Slice 95 of 155
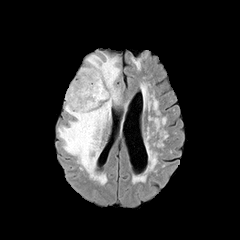
FLAIR magnetic resonance.
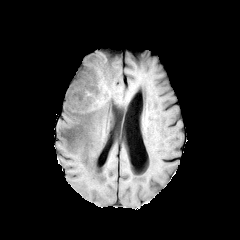
Same slice, T1-weighted MR.
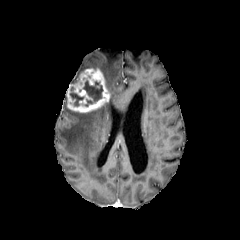
Post-contrast T1-weighted MRI.
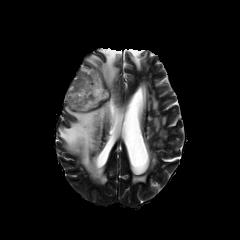
T2-weighted MR image.
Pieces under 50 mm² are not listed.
Segmented structures:
* peritumoral edema: 58,54,119,176
* enhancing tumor: 66,68,110,112
* necrotic tumor core: 83,81,102,106; 70,92,83,105